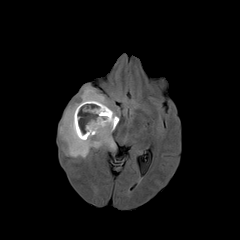
FLAIR MR.
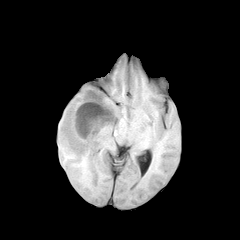
Same slice, T1-weighted MR image.
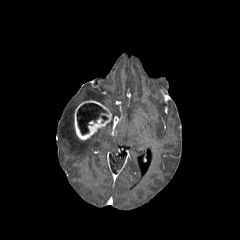
Post-contrast T1-weighted MR image.
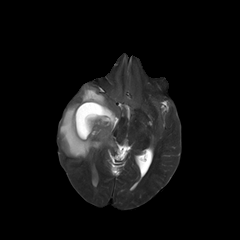
T2-weighted magnetic resonance.
Axial slice; 240x240 px; Head
Segmented structures:
• peritumoral edema: [59,85,117,158]
• enhancing tumor: [74,100,111,139], [112,116,118,130]
• necrotic tumor core: [77,103,107,135]